Image width 240 mm, 1.00 mm slice spacing. Brain.
FLAIR MR image.
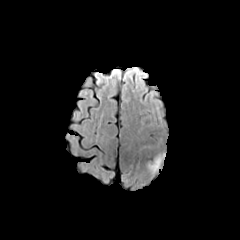
T1-weighted magnetic resonance.
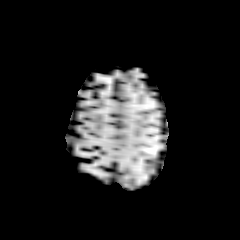
Post-contrast T1-weighted MR image.
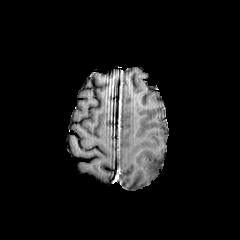
T2-weighted MRI.
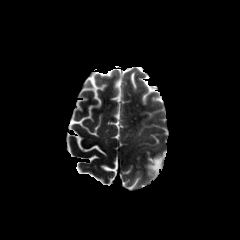
peritumoral edema: bbox(148, 154, 164, 173)